Image width 240 mm | Axial view | Image size 240x240 | Head
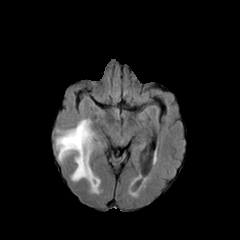
FLAIR MRI.
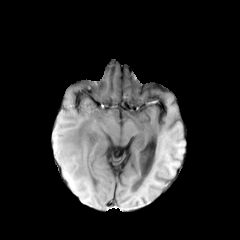
T1-weighted MR.
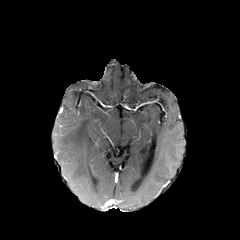
Post-contrast T1-weighted MRI of the same slice.
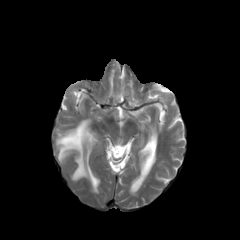
T2-weighted MR image.
The peritumoral edema appears at [x1=56, y1=119, x2=99, y2=192].